FLAIR MRI.
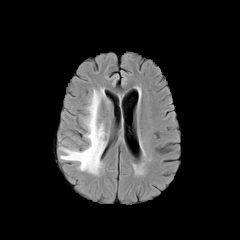
T1-weighted MR image.
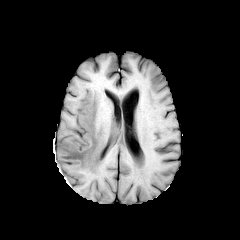
Post-contrast T1-weighted MR.
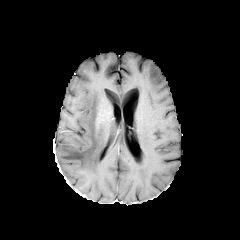
T2-weighted MR image.
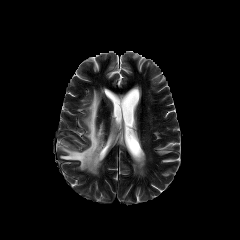
peritumoral edema — left=59, top=89, right=105, bottom=174